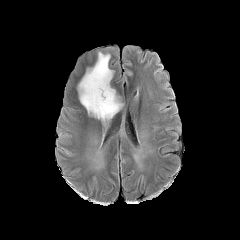
FLAIR MR image.
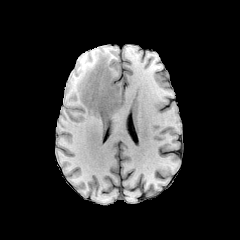
Same slice, T1-weighted magnetic resonance.
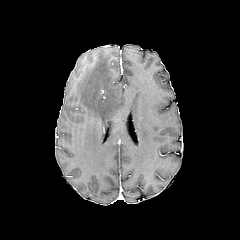
Post-contrast T1-weighted magnetic resonance of the same slice.
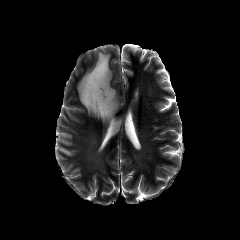
T2-weighted MRI.
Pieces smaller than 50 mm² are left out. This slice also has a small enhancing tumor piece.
peritumoral edema: [78, 52, 122, 122]